FLAIR MR.
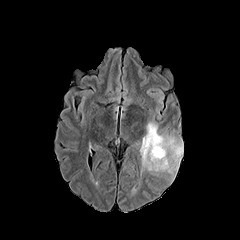
T1-weighted MRI.
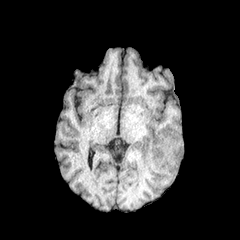
Post-contrast T1-weighted magnetic resonance.
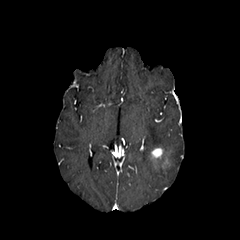
T2-weighted MRI.
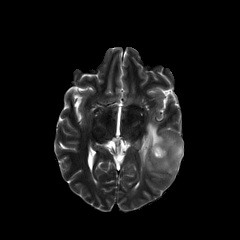
Axial plane.
Annotated regions:
• peritumoral edema: l=141, t=122, r=183, b=174
• enhancing tumor: l=162, t=157, r=169, b=168; l=151, t=147, r=163, b=167